Slice 54/155.
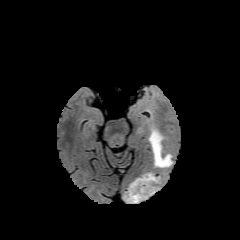
FLAIR MR.
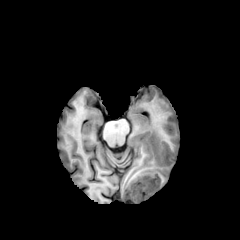
T1-weighted MR image.
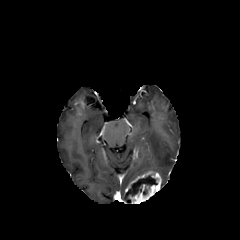
Post-contrast T1-weighted MR.
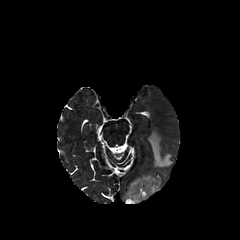
T2-weighted MRI.
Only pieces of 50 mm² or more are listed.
enhancing_tumor:
  - rect(125, 171, 161, 203)
peritumoral_edema:
  - rect(148, 128, 172, 167)
necrotic_tumor_core:
  - rect(124, 175, 157, 203)